FLAIR magnetic resonance.
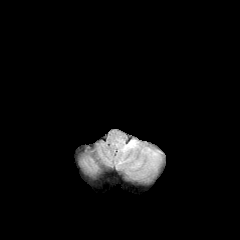
T1-weighted magnetic resonance.
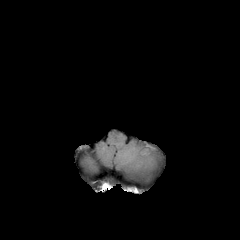
Post-contrast T1-weighted MR.
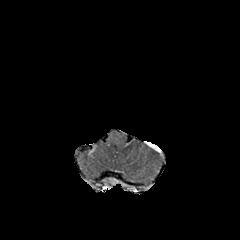
T2-weighted MRI.
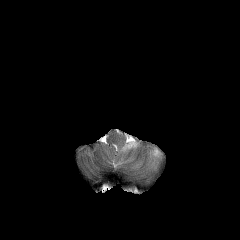
2 peritumoral edema regions are bounded by (x1=130, y1=157, x2=143, y2=169), (x1=114, y1=139, x2=161, y2=175).